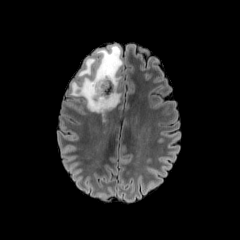
FLAIR MR image.
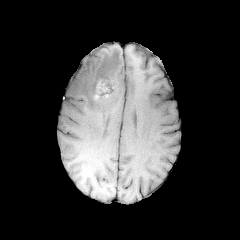
T1-weighted MR of the same slice.
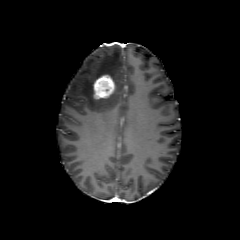
Post-contrast T1-weighted MR image.
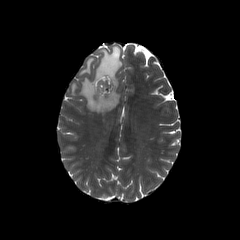
T2-weighted MR.
240x240. Head. Axial view.
peritumoral edema: bounding box [69,45,122,115]
enhancing tumor: bounding box [93,75,115,99]
necrotic tumor core: bounding box [98,81,111,91]